240x240 px; Axial slice
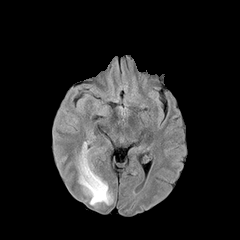
FLAIR MR image.
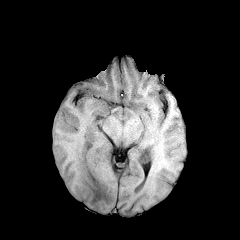
T1-weighted magnetic resonance.
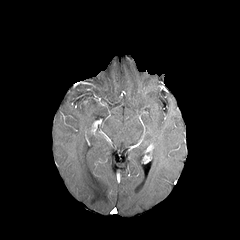
Same slice, post-contrast T1-weighted MRI.
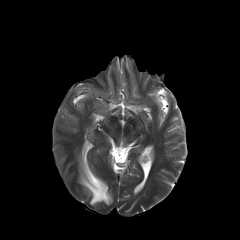
T2-weighted MR image.
The peritumoral edema appears at [78, 142, 112, 205].